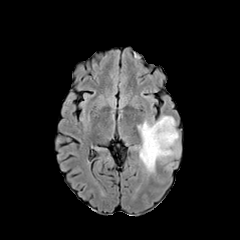
FLAIR MRI.
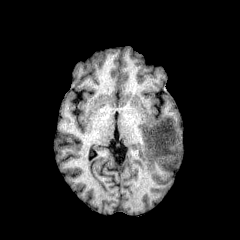
T1-weighted MR of the same slice.
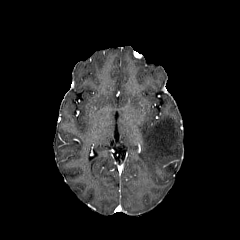
Post-contrast T1-weighted MRI of the same slice.
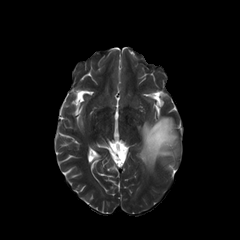
Same slice, T2-weighted magnetic resonance.
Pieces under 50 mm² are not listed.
The largest peritumoral edema region is located at (138,116,179,172).